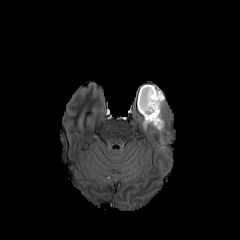
FLAIR MR.
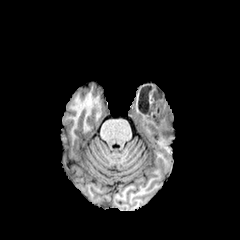
T1-weighted MRI.
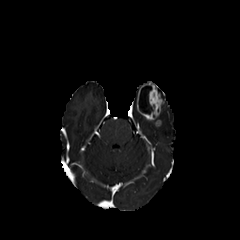
Same slice, post-contrast T1-weighted magnetic resonance.
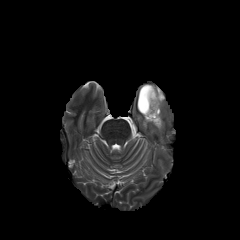
T2-weighted magnetic resonance.
240x240
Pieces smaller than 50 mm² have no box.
The largest peritumoral edema region appears at 142:111:164:144. The largest necrotic tumor core region appears at 139:85:152:114. The largest enhancing tumor region is bounded by 137:82:164:120.